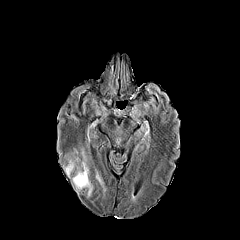
FLAIR MRI.
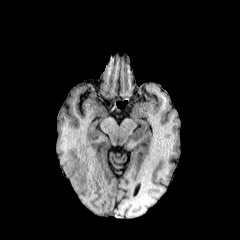
T1-weighted magnetic resonance of the same slice.
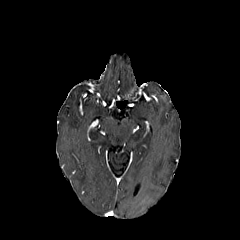
Post-contrast T1-weighted MR image.
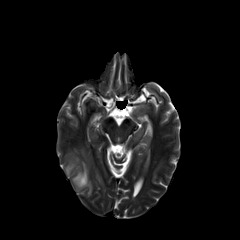
T2-weighted MR image.
240x240 px
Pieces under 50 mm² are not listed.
peritumoral edema: [x1=72, y1=150, x2=92, y2=196], [x1=96, y1=172, x2=105, y2=191], [x1=64, y1=158, x2=76, y2=176]